Image width 240 mm, 1.00 mm slice spacing, Image size 240x240, Slice 92/155
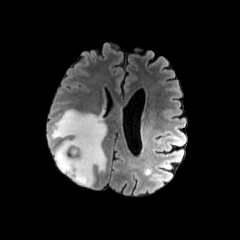
FLAIR MR image.
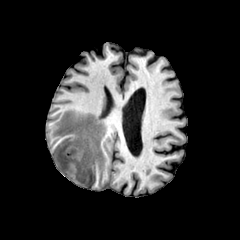
Same slice, T1-weighted MR image.
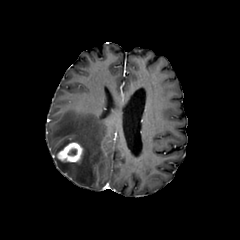
Post-contrast T1-weighted magnetic resonance.
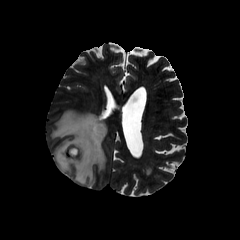
T2-weighted MR.
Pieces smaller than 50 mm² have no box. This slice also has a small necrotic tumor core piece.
The enhancing tumor is located at 57 142 82 162. The peritumoral edema lies within 51 110 106 186.